Axial plane
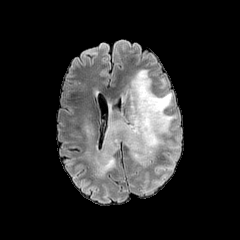
FLAIR magnetic resonance.
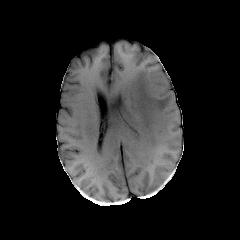
T1-weighted MR.
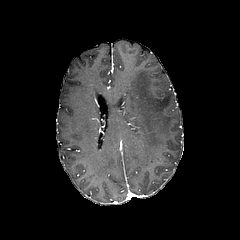
Same slice, post-contrast T1-weighted MR image.
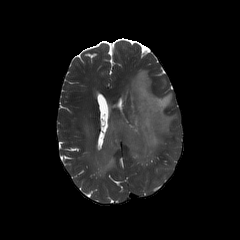
T2-weighted MRI of the same slice.
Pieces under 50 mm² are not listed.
peritumoral edema = [84, 124, 93, 138], [93, 69, 176, 176]